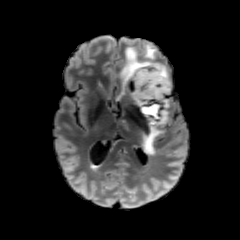
FLAIR MR image.
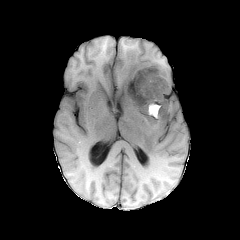
T1-weighted magnetic resonance of the same slice.
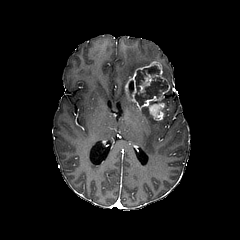
Same slice, post-contrast T1-weighted MRI.
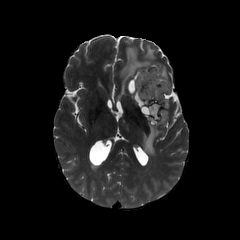
T2-weighted MR.
240x240
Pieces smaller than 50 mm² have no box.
Findings:
* enhancing tumor: [124,62,169,122]
* peritumoral edema: [142,99,169,154], [120,42,156,94], [157,62,170,88]
* necrotic tumor core: [142,104,159,116], [135,65,167,106]